FLAIR magnetic resonance.
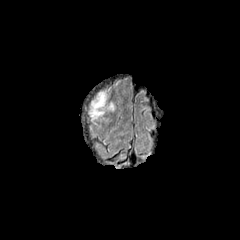
T1-weighted MR image.
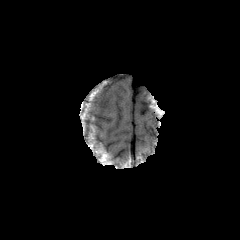
Post-contrast T1-weighted MRI.
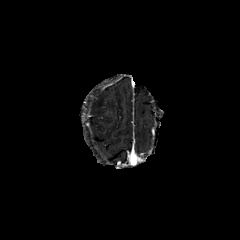
T2-weighted magnetic resonance.
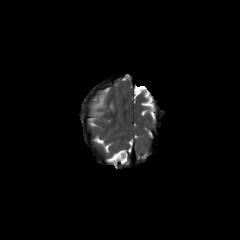
Head.
The peritumoral edema is at <box>89,91,114,120</box>.